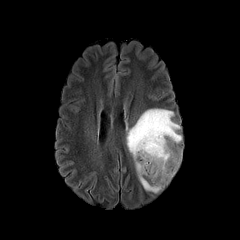
FLAIR MRI.
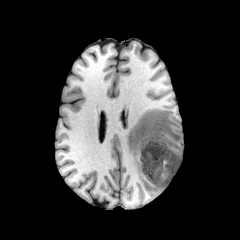
T1-weighted magnetic resonance.
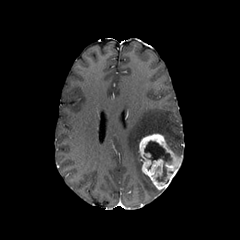
Post-contrast T1-weighted MR image.
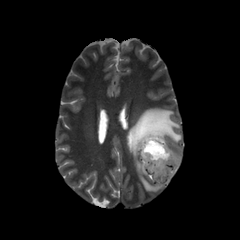
T2-weighted MR.
Head
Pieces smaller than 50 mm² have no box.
Segmented structures:
* enhancing tumor: {"x1": 139, "y1": 133, "x2": 182, "y2": 190}
* peritumoral edema: {"x1": 126, "y1": 108, "x2": 181, "y2": 192}
* necrotic tumor core: {"x1": 157, "y1": 166, "x2": 166, "y2": 181}, {"x1": 144, "y1": 141, "x2": 171, "y2": 162}